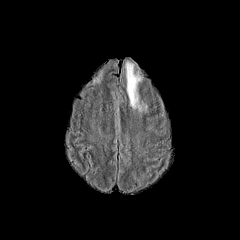
FLAIR MR.
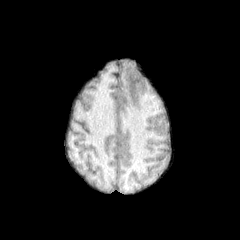
Same slice, T1-weighted MRI.
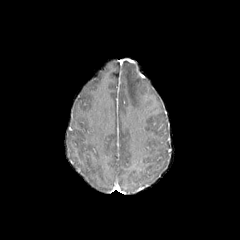
Post-contrast T1-weighted MRI.
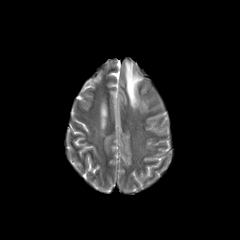
T2-weighted MRI of the same slice.
Image size 240x240
peritumoral edema = [x1=124, y1=59, x2=147, y2=111]